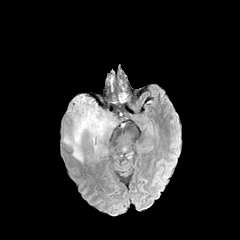
FLAIR magnetic resonance.
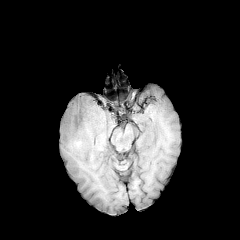
T1-weighted MR image.
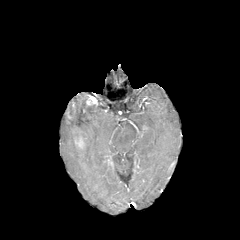
Post-contrast T1-weighted MR.
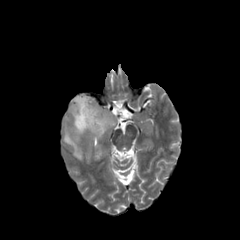
Same slice, T2-weighted magnetic resonance.
Image size 240x240. Head.
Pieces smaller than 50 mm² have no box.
peritumoral edema: bbox=[66, 94, 111, 161]
enhancing tumor: bbox=[75, 138, 84, 149]; bbox=[86, 95, 97, 106]